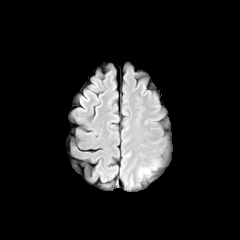
FLAIR magnetic resonance.
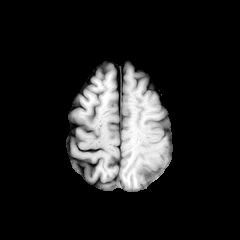
T1-weighted MR image.
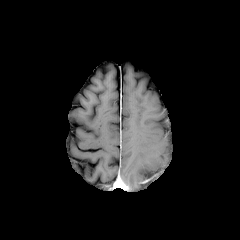
Post-contrast T1-weighted MR.
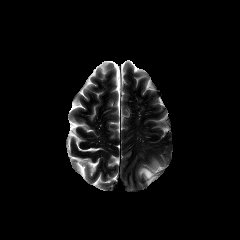
Same slice, T2-weighted MR image.
Brain; 240x240 px
<segmentation>
  <peritumoral_edema>140 160 159 178</peritumoral_edema>
</segmentation>